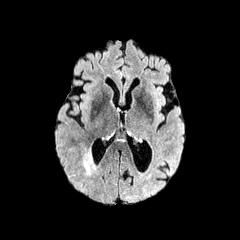
FLAIR MR image.
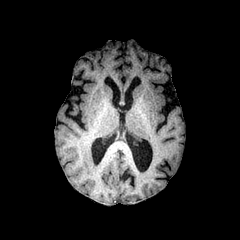
T1-weighted MR of the same slice.
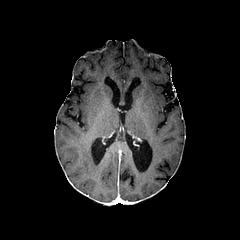
Same slice, post-contrast T1-weighted MRI.
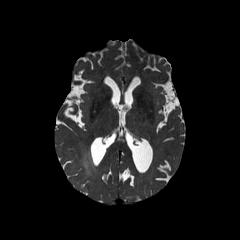
T2-weighted MRI of the same slice.
peritumoral_edema:
  - <bbox>82, 153, 91, 175</bbox>